FLAIR MR image.
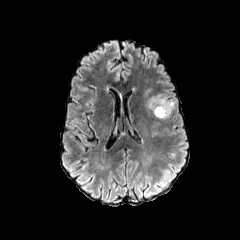
T1-weighted MRI.
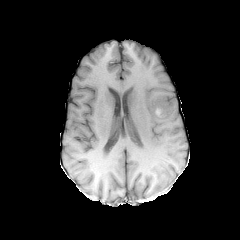
Post-contrast T1-weighted MR image.
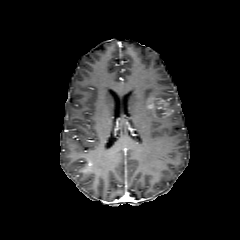
T2-weighted MRI.
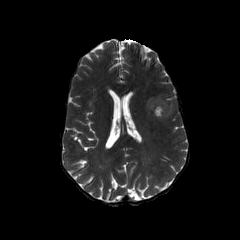
Head; Axial slice
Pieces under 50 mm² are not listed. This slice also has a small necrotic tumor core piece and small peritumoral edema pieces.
{
  "enhancing_tumor": [
    "left=147, top=96, right=173, bottom=118"
  ]
}